FLAIR MRI.
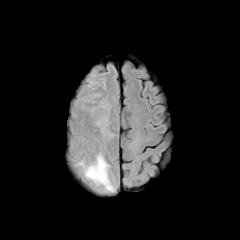
T1-weighted MR image.
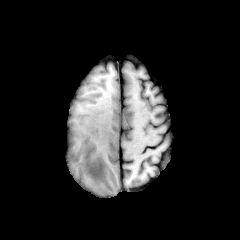
Post-contrast T1-weighted MR image.
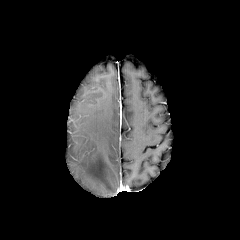
T2-weighted MR.
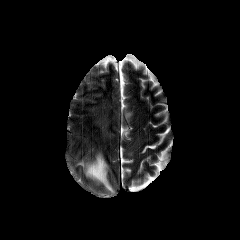
Axial view
peritumoral edema: {"x1": 77, "y1": 153, "x2": 114, "y2": 192}